240x240 px. Slice 127 of 155. Image width 240 mm, 1.00 mm slice spacing.
FLAIR magnetic resonance.
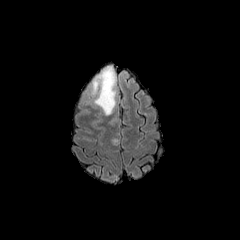
T1-weighted MR.
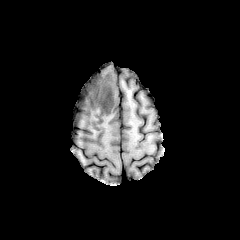
Post-contrast T1-weighted MRI.
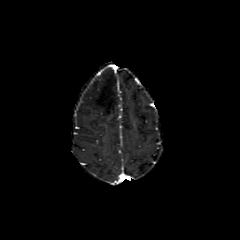
T2-weighted MRI.
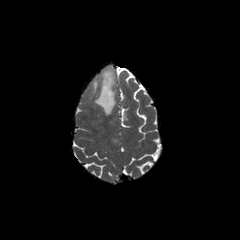
peritumoral edema: [x1=90, y1=66, x2=116, y2=115]